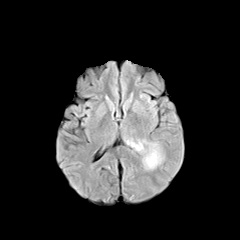
FLAIR magnetic resonance.
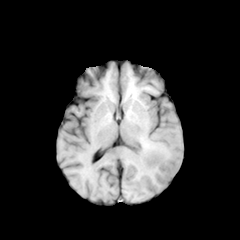
T1-weighted MR.
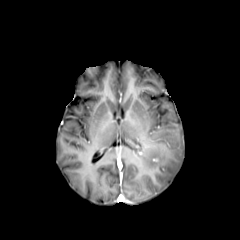
Same slice, post-contrast T1-weighted magnetic resonance.
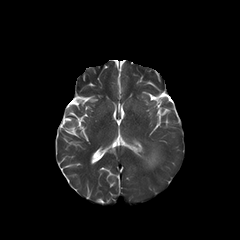
T2-weighted MR.
240x240 px. Head.
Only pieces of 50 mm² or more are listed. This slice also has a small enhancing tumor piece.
peritumoral edema: l=127, t=140, r=143, b=151; l=143, t=144, r=162, b=168